Head. Image width 240 mm. Slice 81/155.
FLAIR magnetic resonance.
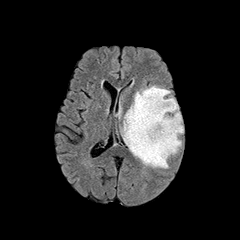
T1-weighted MR image.
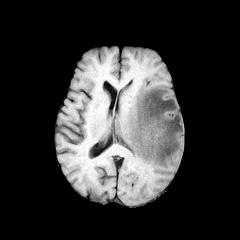
Post-contrast T1-weighted MR image.
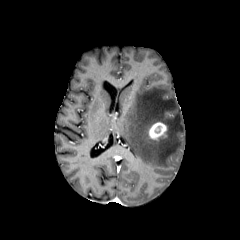
T2-weighted MR.
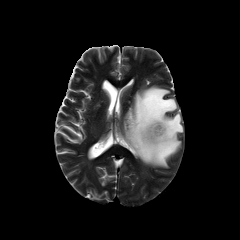
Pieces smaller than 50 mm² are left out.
peritumoral edema: box(121, 85, 183, 168) | enhancing tumor: box(148, 122, 167, 140)